FLAIR MR image.
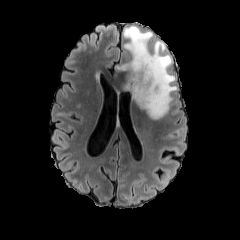
T1-weighted MRI.
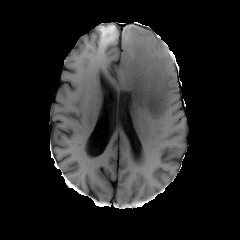
Post-contrast T1-weighted MR.
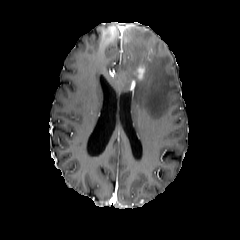
T2-weighted MR.
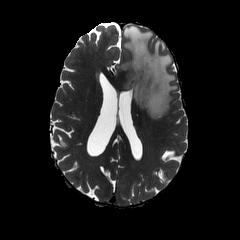
Brain; Axial plane
The peritumoral edema lies within 117:25:177:119. The enhancing tumor is bounded by 130:68:145:90.